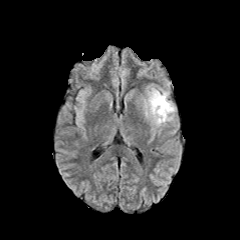
FLAIR MRI.
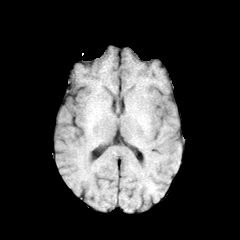
T1-weighted MR image of the same slice.
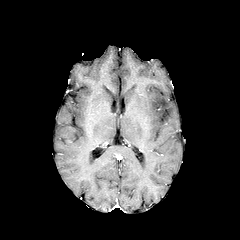
Post-contrast T1-weighted MR image.
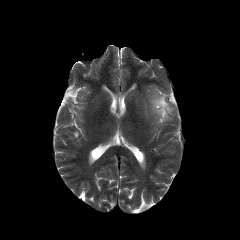
Same slice, T2-weighted MR.
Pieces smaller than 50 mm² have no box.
* peritumoral edema: bbox=[148, 90, 174, 123]